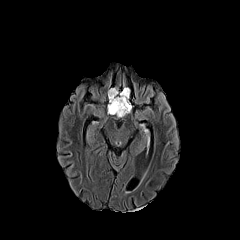
FLAIR magnetic resonance.
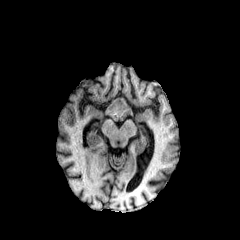
Same slice, T1-weighted magnetic resonance.
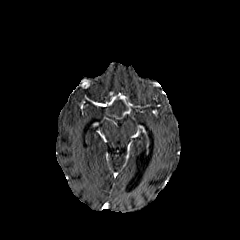
Post-contrast T1-weighted MR image.
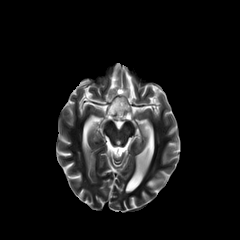
T2-weighted MR of the same slice.
Brain
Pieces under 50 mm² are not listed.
peritumoral_edema:
  - region(119, 87, 129, 98)
  - region(108, 88, 117, 103)
necrotic_tumor_core:
  - region(108, 98, 127, 117)
enhancing_tumor:
  - region(109, 94, 131, 117)